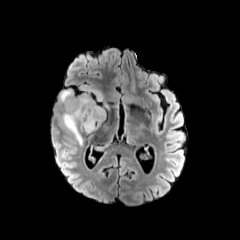
FLAIR MR image.
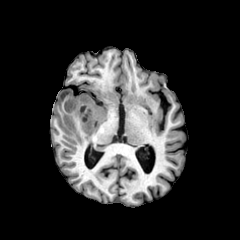
T1-weighted MR.
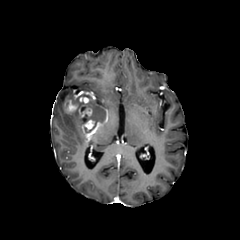
Post-contrast T1-weighted MRI.
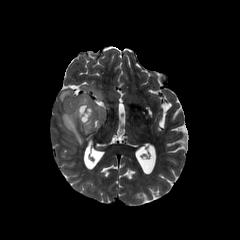
Same slice, T2-weighted magnetic resonance.
Head. Axial plane. 240x240 px.
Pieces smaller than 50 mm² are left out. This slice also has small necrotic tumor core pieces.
Findings:
* enhancing tumor: [x1=64, y1=97, x2=94, y2=131]
* peritumoral edema: [x1=82, y1=87, x2=103, y2=101], [x1=62, y1=111, x2=83, y2=145], [x1=59, y1=89, x2=78, y2=103], [x1=81, y1=94, x2=107, y2=122]